FLAIR MR image.
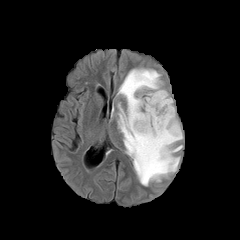
T1-weighted MR image.
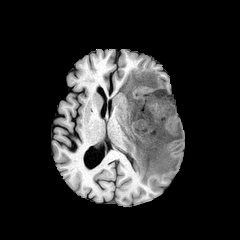
Post-contrast T1-weighted magnetic resonance.
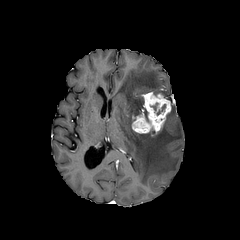
T2-weighted magnetic resonance.
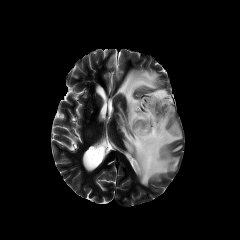
Axial slice, 240x240 px, Head
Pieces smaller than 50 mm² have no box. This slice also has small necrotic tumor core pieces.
The peritumoral edema is bounded by [117,68,182,185]. The enhancing tumor is at [132,92,170,135].